FLAIR MR.
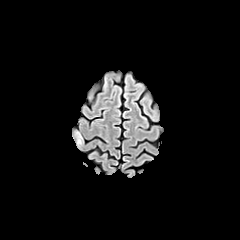
T1-weighted MRI.
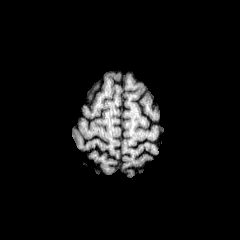
Post-contrast T1-weighted MR image.
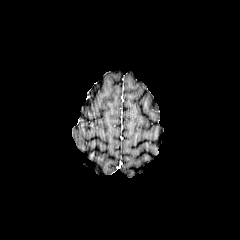
T2-weighted MR image.
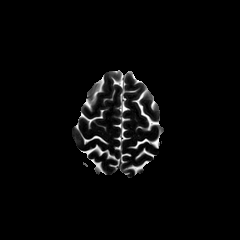
Brain | Axial view | 240x240 px
peritumoral edema: bounding box [74,132,86,146]